Slice 61 of 155 | Head | Axial plane
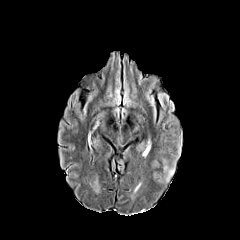
FLAIR MR image.
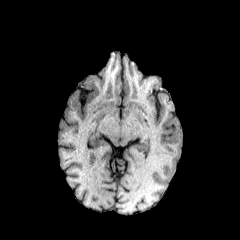
T1-weighted MR image.
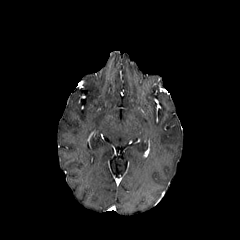
Post-contrast T1-weighted MR.
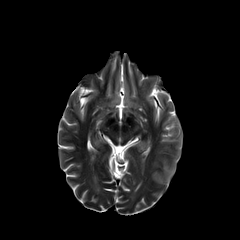
T2-weighted MRI.
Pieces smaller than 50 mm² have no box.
peritumoral edema = [167, 168, 174, 180]